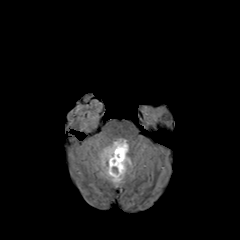
FLAIR MRI.
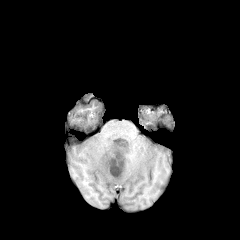
Same slice, T1-weighted MR.
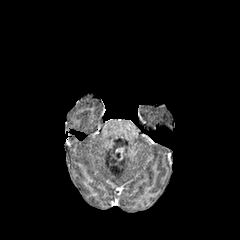
Post-contrast T1-weighted MRI of the same slice.
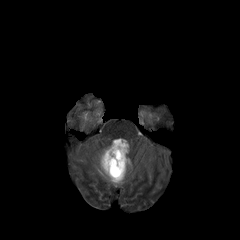
T2-weighted MR of the same slice.
Axial plane
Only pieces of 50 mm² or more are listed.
{
  "peritumoral_edema": [
    "box=[98, 138, 132, 185]"
  ],
  "enhancing_tumor": [
    "box=[107, 146, 125, 172]"
  ],
  "necrotic_tumor_core": [
    "box=[110, 165, 120, 175]"
  ]
}